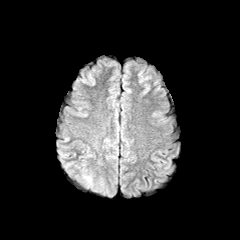
FLAIR MRI.
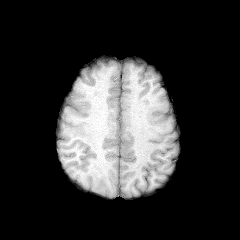
T1-weighted MR image.
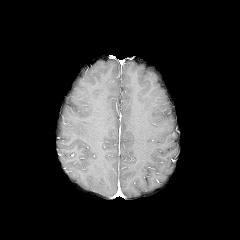
Post-contrast T1-weighted magnetic resonance.
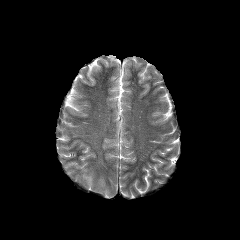
T2-weighted MR image of the same slice.
240x240. Brain.
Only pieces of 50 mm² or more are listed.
The largest peritumoral edema region is bounded by [x1=83, y1=174, x2=92, y2=187].